Slice index 97; Head
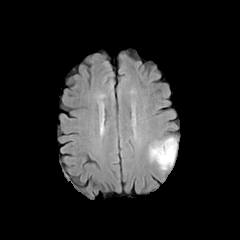
FLAIR MR.
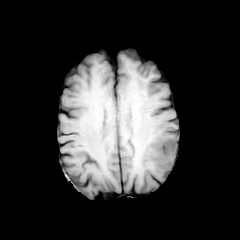
T1-weighted MR.
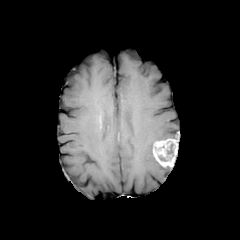
Same slice, post-contrast T1-weighted magnetic resonance.
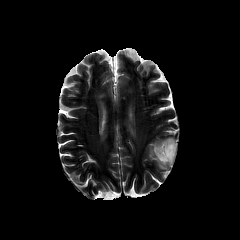
T2-weighted MR of the same slice.
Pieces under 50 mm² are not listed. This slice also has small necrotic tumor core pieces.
peritumoral edema: [148,140,170,170] | enhancing tumor: [153,138,177,167]